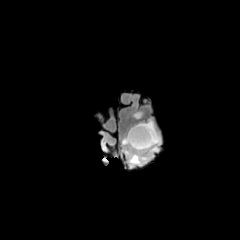
FLAIR MR image.
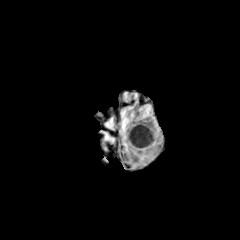
T1-weighted MR image.
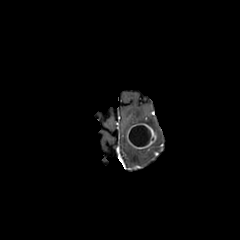
Same slice, post-contrast T1-weighted MR image.
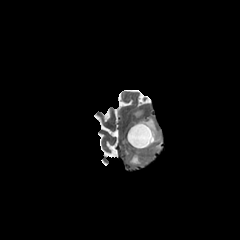
T2-weighted MR.
Brain
2 peritumoral edema regions are located at 133 112 142 118, 122 119 160 165. The necrotic tumor core lies within 129 125 150 146. The enhancing tumor is bounded by 126 123 157 149.